FLAIR MR.
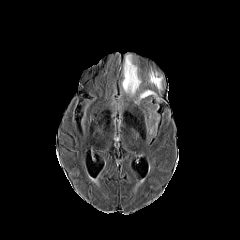
T1-weighted MRI.
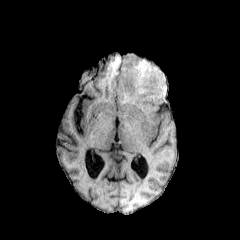
Post-contrast T1-weighted MR image.
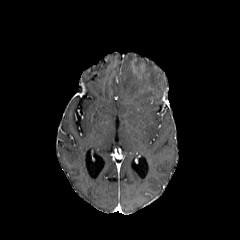
T2-weighted magnetic resonance.
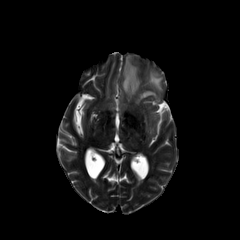
240x240; Head; Axial slice
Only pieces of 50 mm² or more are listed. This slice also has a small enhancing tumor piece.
Annotated regions:
* peritumoral edema: <box>148,71,162,92</box>, <box>122,54,141,97</box>, <box>135,90,159,103</box>